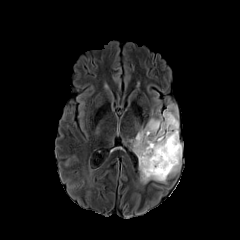
FLAIR MR.
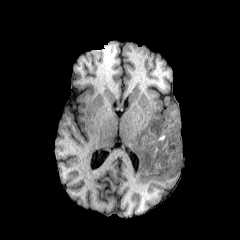
T1-weighted magnetic resonance.
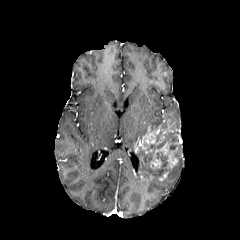
Same slice, post-contrast T1-weighted MR.
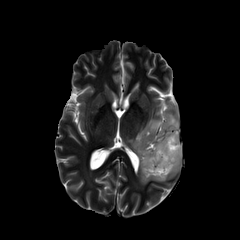
Same slice, T2-weighted MRI.
Axial slice
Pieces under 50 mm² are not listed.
necrotic tumor core at (137, 123, 180, 179), (151, 118, 169, 130)
enhancing tumor at (150, 141, 178, 168), (134, 119, 173, 153), (158, 172, 168, 181)
peritumoral edema at (161, 157, 180, 182), (163, 105, 179, 128), (130, 116, 163, 151)